Image covers 240 mm x 240 mm
FLAIR MR.
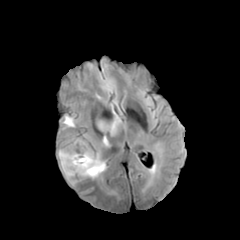
T1-weighted magnetic resonance.
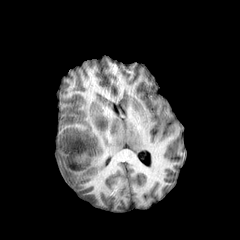
Post-contrast T1-weighted MR.
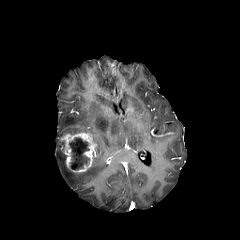
T2-weighted MR.
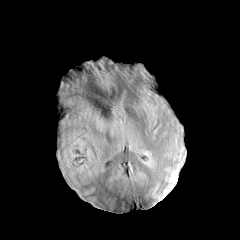
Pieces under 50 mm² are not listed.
{"necrotic_tumor_core": ["69, 138, 89, 169"], "peritumoral_edema": ["96, 117, 120, 136", "57, 135, 109, 184", "61, 114, 82, 129"], "enhancing_tumor": ["59, 131, 97, 172"]}